Slice 94/155
FLAIR MR.
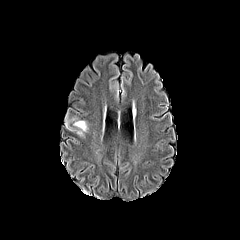
T1-weighted MRI.
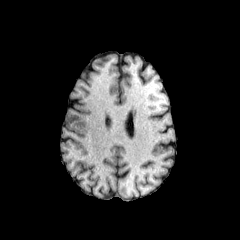
Post-contrast T1-weighted magnetic resonance.
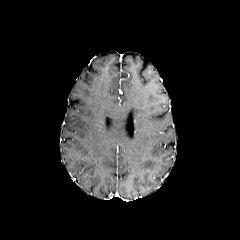
T2-weighted MRI.
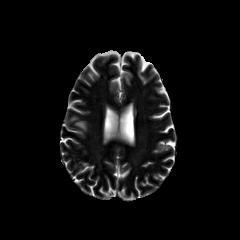
peritumoral edema: bbox(66, 115, 88, 136)